FLAIR MR.
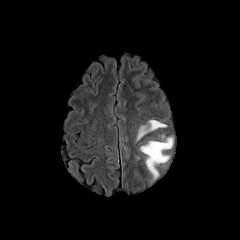
T1-weighted magnetic resonance.
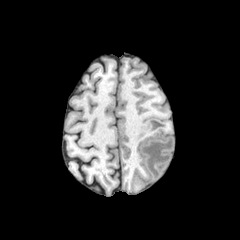
Post-contrast T1-weighted MR image.
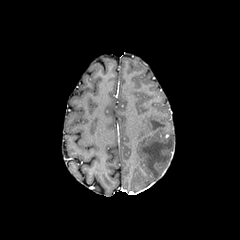
T2-weighted MRI.
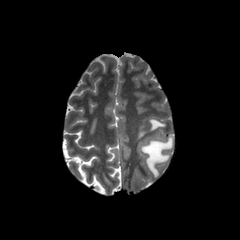
Axial slice; Image size 240x240; Head
Segmented structures:
* peritumoral edema: x1=140, y1=137, x2=173, y2=178; x1=137, y1=120, x2=166, y2=140